FLAIR MR.
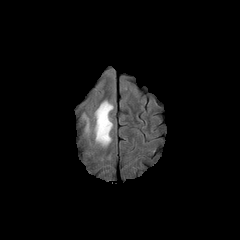
T1-weighted MR.
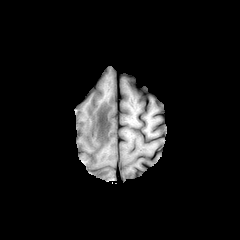
Post-contrast T1-weighted MR image.
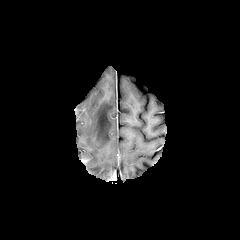
T2-weighted MRI.
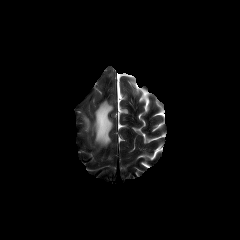
240x240 px
peritumoral edema — (left=84, top=115, right=89, bottom=131), (left=94, top=100, right=113, bottom=146)